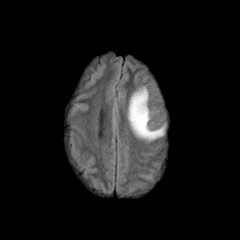
FLAIR MRI.
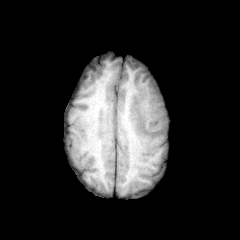
T1-weighted MR image.
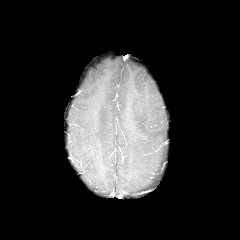
Post-contrast T1-weighted magnetic resonance.
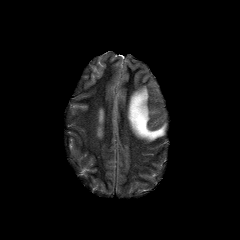
Same slice, T2-weighted MR.
Image size 240x240, Brain
The peritumoral edema is bounded by 127, 86, 165, 141.